FLAIR MRI.
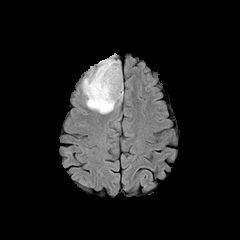
T1-weighted MR.
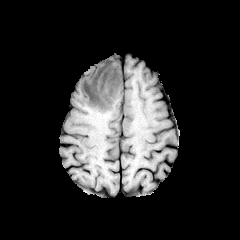
Post-contrast T1-weighted magnetic resonance.
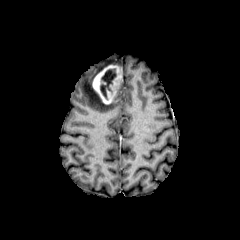
T2-weighted MRI.
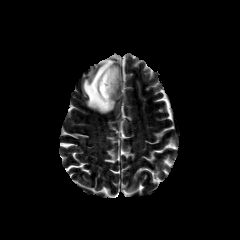
Head
Findings:
- enhancing tumor: 92,65,121,104
- peritumoral edema: 81,54,123,113
- necrotic tumor core: 100,70,116,99